FLAIR magnetic resonance.
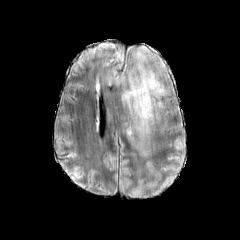
T1-weighted MR.
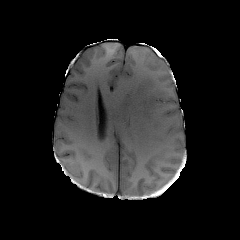
Post-contrast T1-weighted magnetic resonance.
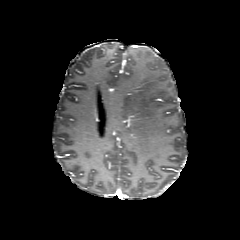
T2-weighted magnetic resonance.
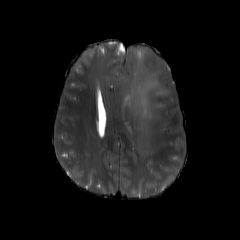
Head.
The peritumoral edema lies within bbox=[117, 63, 168, 136].